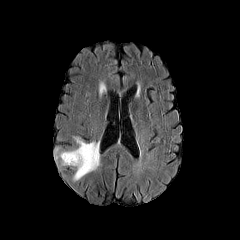
FLAIR MR.
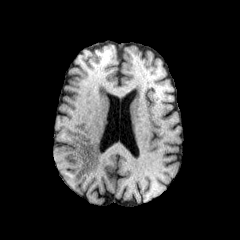
T1-weighted magnetic resonance.
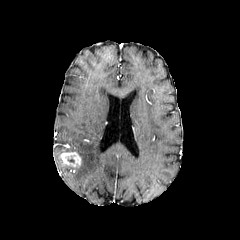
Post-contrast T1-weighted MR.
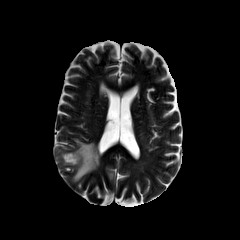
T2-weighted MR.
Axial plane.
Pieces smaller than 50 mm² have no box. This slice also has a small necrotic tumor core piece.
enhancing tumor: box(59, 152, 81, 167) | peritumoral edema: box(68, 137, 99, 181)